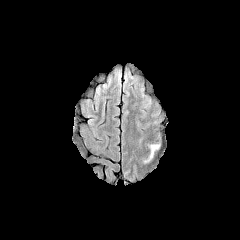
FLAIR MR image.
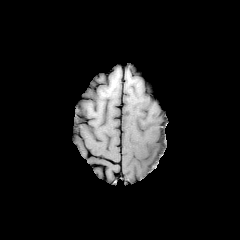
Same slice, T1-weighted MRI.
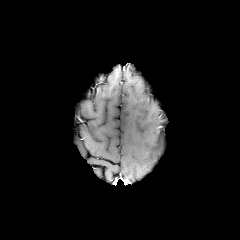
Same slice, post-contrast T1-weighted MRI.
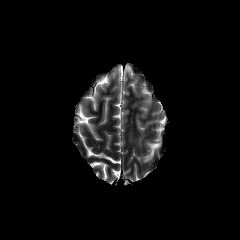
T2-weighted MRI.
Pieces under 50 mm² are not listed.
peritumoral edema at (143, 142, 160, 162)